FLAIR MRI.
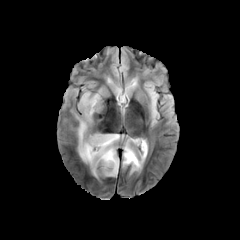
T1-weighted magnetic resonance.
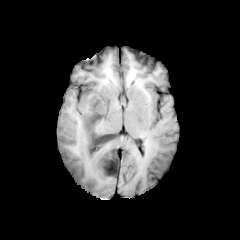
Post-contrast T1-weighted MR.
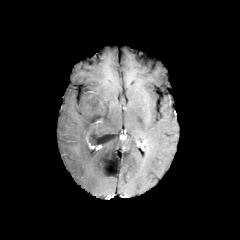
T2-weighted MR image.
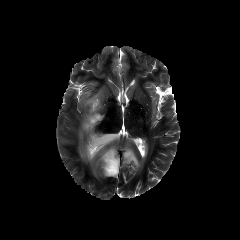
Axial plane; Head
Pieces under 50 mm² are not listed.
peritumoral_edema:
  - x1=78 y1=92 x2=119 y2=176
  - x1=122 y1=138 x2=147 y2=172
necrotic_tumor_core:
  - x1=104 y1=152 x2=118 y2=175
  - x1=87 y1=120 x2=113 y2=145